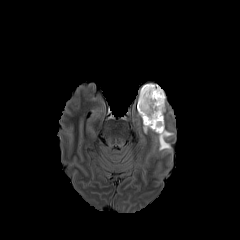
FLAIR MR.
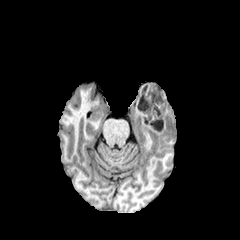
T1-weighted magnetic resonance.
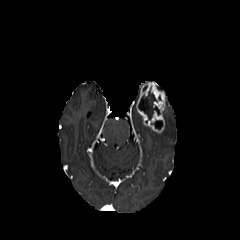
Post-contrast T1-weighted MR of the same slice.
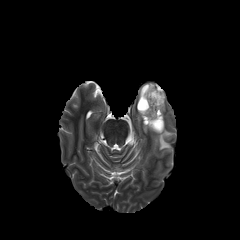
T2-weighted magnetic resonance.
240x240.
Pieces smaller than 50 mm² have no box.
necrotic tumor core at (left=154, top=120, right=162, bottom=129), (left=138, top=88, right=159, bottom=119)
enhancing tumor at (left=136, top=82, right=165, bottom=133)
peritumoral edema at (left=143, top=124, right=174, bottom=152)